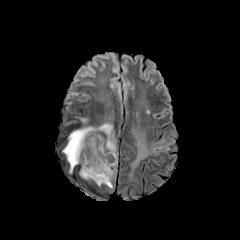
FLAIR MR image.
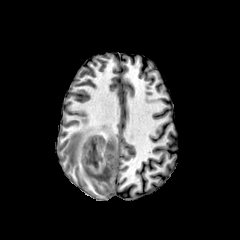
T1-weighted MR image.
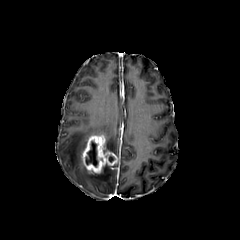
Post-contrast T1-weighted MR.
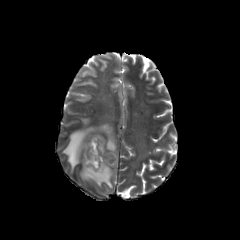
T2-weighted MR of the same slice.
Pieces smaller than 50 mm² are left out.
enhancing_tumor:
  - bbox(81, 135, 118, 173)
peritumoral_edema:
  - bbox(63, 123, 117, 172)
  - bbox(80, 164, 117, 188)
necrotic_tumor_core:
  - bbox(86, 141, 98, 166)